240x240 | Slice 128/155 | Axial slice | Head
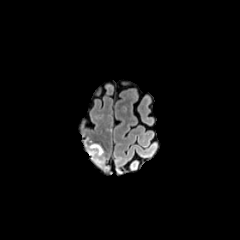
FLAIR magnetic resonance.
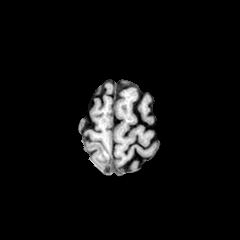
Same slice, T1-weighted MR.
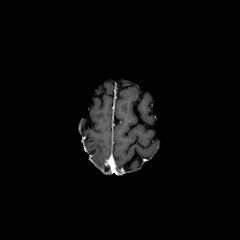
Post-contrast T1-weighted magnetic resonance.
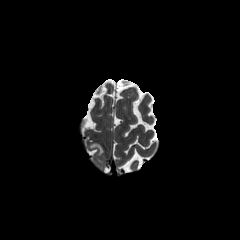
Same slice, T2-weighted MR image.
peritumoral edema: left=90, top=144, right=103, bottom=154